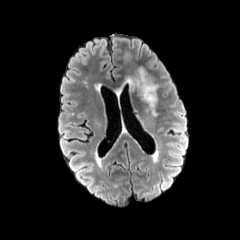
FLAIR MR image.
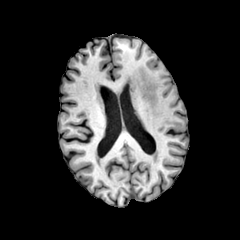
Same slice, T1-weighted magnetic resonance.
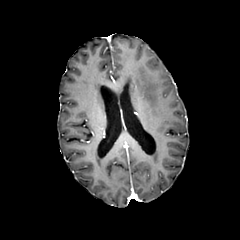
Same slice, post-contrast T1-weighted MR.
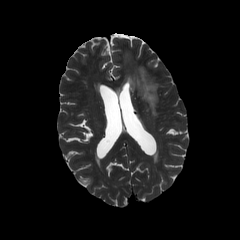
Same slice, T2-weighted MRI.
Brain; Axial view
peritumoral edema: bbox(127, 67, 157, 115)